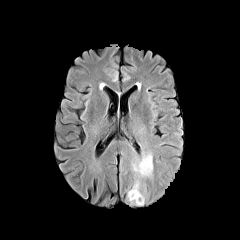
FLAIR MR.
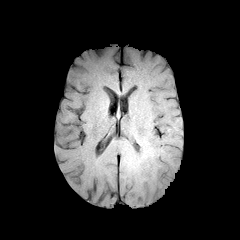
T1-weighted MRI.
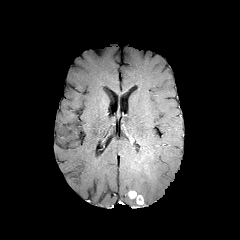
Post-contrast T1-weighted MR of the same slice.
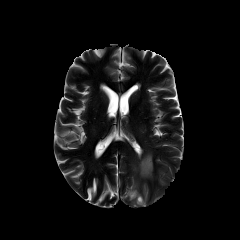
T2-weighted MR of the same slice.
240x240
* enhancing tumor: <bbox>128, 191, 143, 204</bbox>
* peritumoral edema: <bbox>134, 154, 152, 176</bbox>, <bbox>127, 193, 141, 205</bbox>, <bbox>129, 183, 144, 203</bbox>